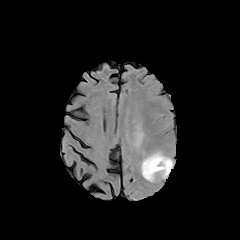
FLAIR magnetic resonance.
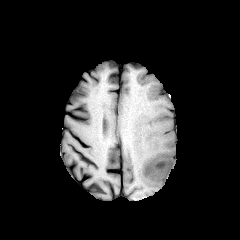
T1-weighted magnetic resonance of the same slice.
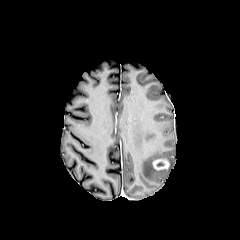
Post-contrast T1-weighted MRI.
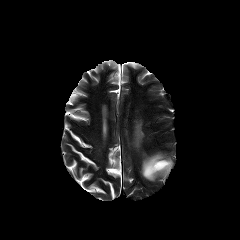
Same slice, T2-weighted MR.
Axial plane.
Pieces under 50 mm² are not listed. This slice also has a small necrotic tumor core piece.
enhancing tumor at [x1=152, y1=159, x2=169, y2=170]
peritumoral edema at [x1=137, y1=127, x2=143, y2=145], [x1=141, y1=152, x2=173, y2=181]